FLAIR magnetic resonance.
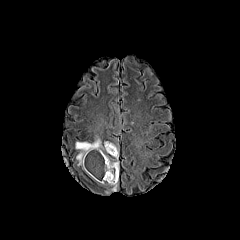
T1-weighted magnetic resonance.
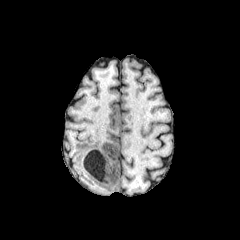
Post-contrast T1-weighted MRI.
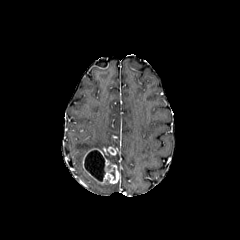
T2-weighted MR image.
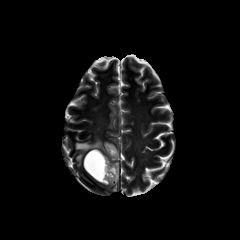
240x240 px; Head; Axial view
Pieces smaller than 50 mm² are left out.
Findings:
- peritumoral edema: box=[75, 139, 101, 165]
- necrotic tumor core: box=[84, 150, 104, 181]
- enhancing tumor: box=[83, 148, 118, 184]; box=[106, 146, 117, 155]